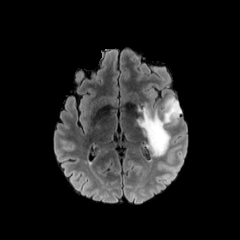
FLAIR MR image.
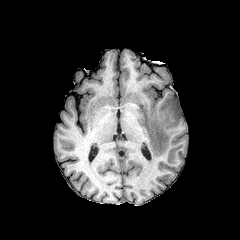
T1-weighted magnetic resonance.
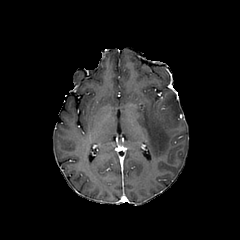
Post-contrast T1-weighted magnetic resonance.
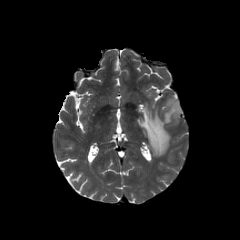
T2-weighted MRI.
Head; Axial slice; Image size 240x240
The peritumoral edema appears at (left=136, top=97, right=181, bottom=157).